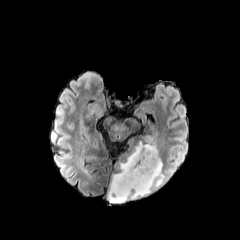
FLAIR MR image.
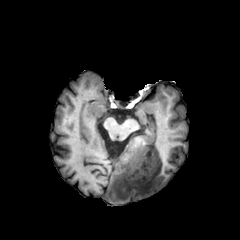
T1-weighted MRI.
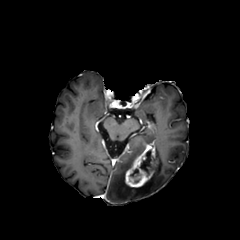
Same slice, post-contrast T1-weighted MR image.
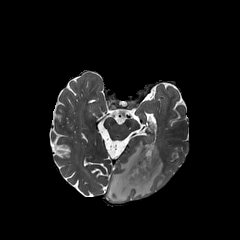
T2-weighted MRI of the same slice.
Head.
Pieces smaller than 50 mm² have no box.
enhancing tumor: (left=125, top=142, right=157, bottom=188) | necrotic tumor core: (left=140, top=150, right=151, bottom=173) | peritumoral edema: (left=107, top=135, right=164, bottom=203)